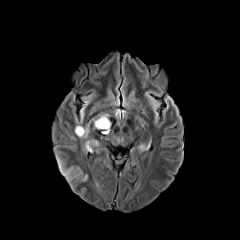
FLAIR MR.
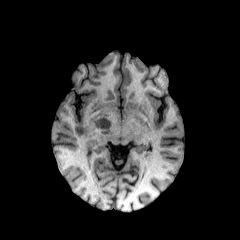
T1-weighted MR of the same slice.
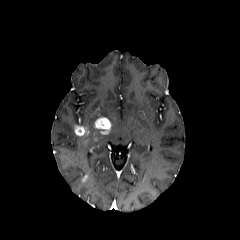
Post-contrast T1-weighted MRI.
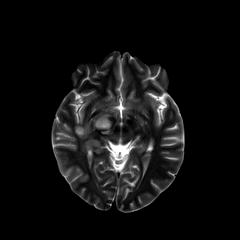
Same slice, T2-weighted MR.
Head | Axial view
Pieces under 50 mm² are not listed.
The 2 largest peritumoral edema regions appear at left=92, top=114, right=108, bottom=126; left=85, top=139, right=98, bottom=150. The 2 largest enhancing tumor regions are bounded by left=94, top=117, right=110, bottom=134; left=75, top=125, right=89, bottom=135.